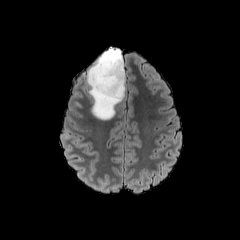
FLAIR MRI.
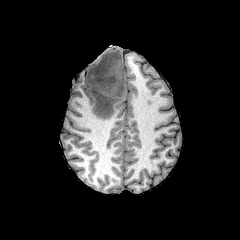
T1-weighted MR image.
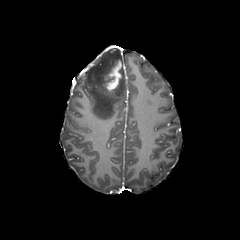
Same slice, post-contrast T1-weighted magnetic resonance.
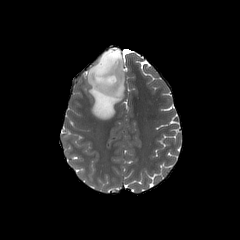
Same slice, T2-weighted MRI.
Brain.
peritumoral edema: 87:47:125:120
enhancing tumor: 104:60:121:91